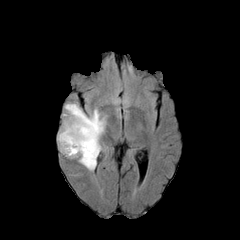
FLAIR MR image.
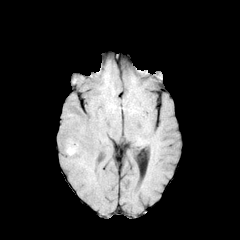
T1-weighted MRI.
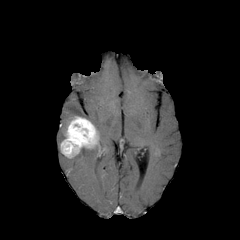
Post-contrast T1-weighted MR image.
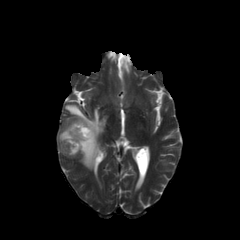
T2-weighted MR.
Axial slice. Brain.
enhancing tumor — 60 116 98 157
peritumoral edema — 57 103 106 170